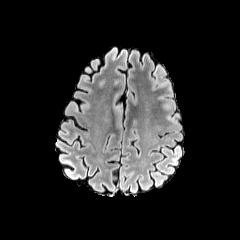
FLAIR MRI.
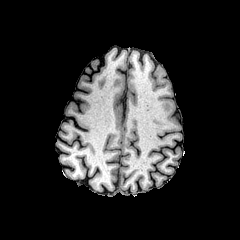
T1-weighted MRI.
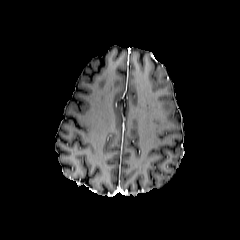
Post-contrast T1-weighted magnetic resonance.
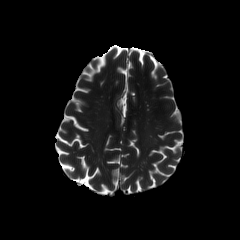
Same slice, T2-weighted MR.
Axial plane
peritumoral edema = left=160, top=100, right=180, bottom=121